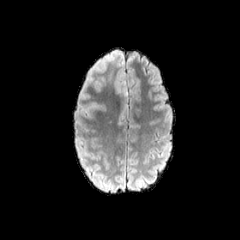
FLAIR MRI.
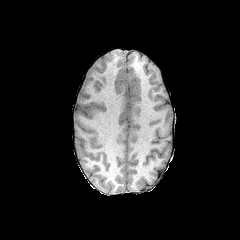
T1-weighted MRI.
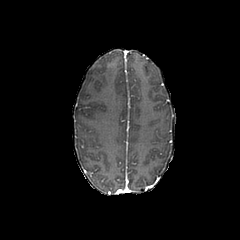
Post-contrast T1-weighted MR image of the same slice.
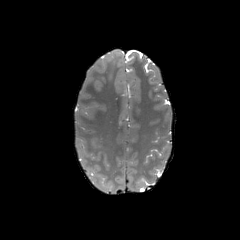
T2-weighted magnetic resonance.
Brain | Axial view
<segmentation>
  <peritumoral_edema>(x1=119, y1=85, x2=130, y2=123), (x1=106, y1=68, x2=114, y2=82)</peritumoral_edema>
</segmentation>